FLAIR MRI.
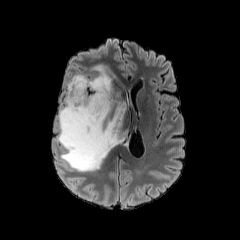
T1-weighted MR image.
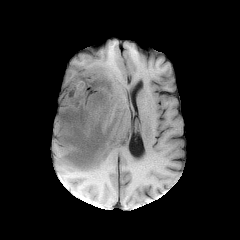
Post-contrast T1-weighted magnetic resonance.
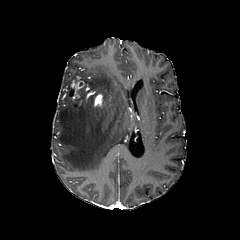
T2-weighted MR.
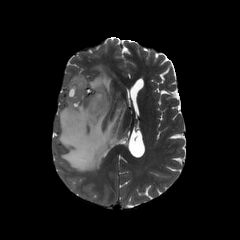
240x240
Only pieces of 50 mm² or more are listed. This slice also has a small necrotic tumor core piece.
The peritumoral edema is located at bbox(58, 64, 126, 171). The 2 largest enhancing tumor regions are located at bbox(71, 76, 84, 99); bbox(93, 93, 105, 109).